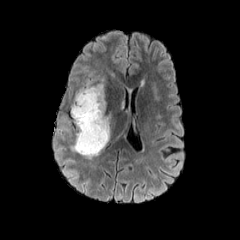
FLAIR MR.
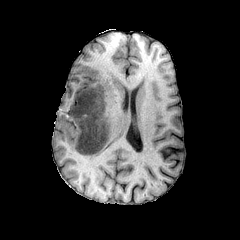
T1-weighted MR.
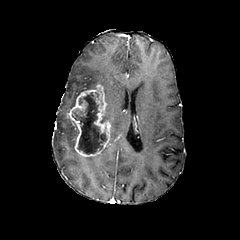
Same slice, post-contrast T1-weighted MR image.
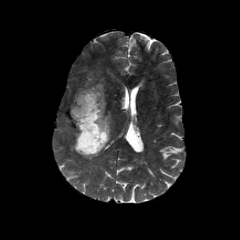
T2-weighted MR of the same slice.
Axial plane
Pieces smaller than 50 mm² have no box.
enhancing tumor at (x1=70, y1=84, x2=110, y2=156)
necrotic tumor core at (x1=74, y1=92, x2=106, y2=155)
peritumoral edema at (x1=70, y1=80, x2=95, y2=109), (x1=105, y1=113, x2=114, y2=137)